Axial slice | Head
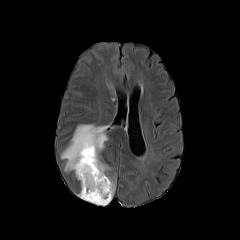
FLAIR magnetic resonance.
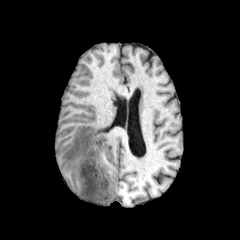
T1-weighted MR image of the same slice.
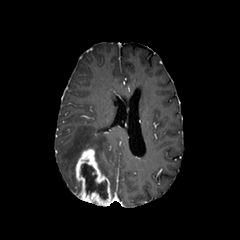
Same slice, post-contrast T1-weighted MR.
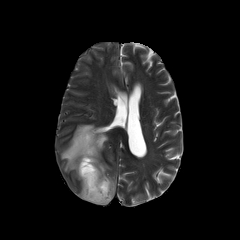
T2-weighted MRI.
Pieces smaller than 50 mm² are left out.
Findings:
* peritumoral edema: 61:124:115:198
* necrotic tumor core: 81:163:107:199
* enhancing tumor: 75:148:111:205